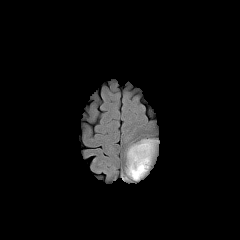
FLAIR MR image.
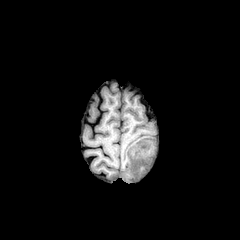
T1-weighted magnetic resonance.
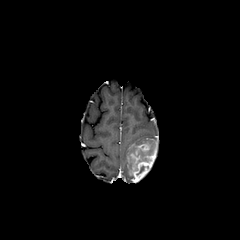
Post-contrast T1-weighted MRI.
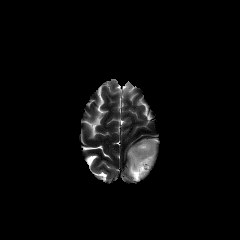
T2-weighted MR image.
Head
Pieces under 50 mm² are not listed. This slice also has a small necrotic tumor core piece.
Annotated regions:
* enhancing tumor: 130,144,156,181
* peritumoral edema: 127,139,155,178